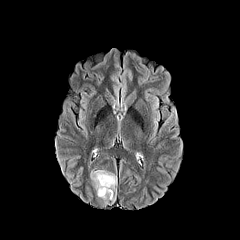
FLAIR MRI.
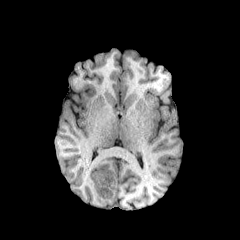
T1-weighted magnetic resonance.
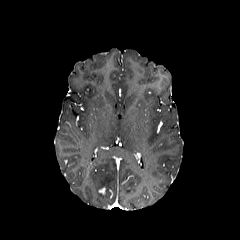
Post-contrast T1-weighted magnetic resonance.
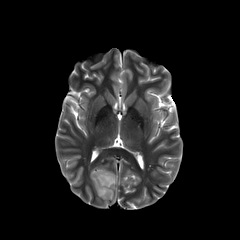
T2-weighted MR image.
Axial view.
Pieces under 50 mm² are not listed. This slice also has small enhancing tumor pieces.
Segmented structures:
- peritumoral edema: l=90, t=170, r=116, b=202